Slice 88/155; Head; 240x240 px
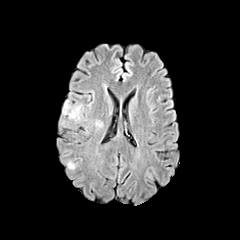
FLAIR MRI.
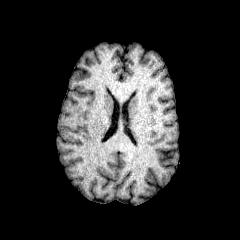
Same slice, T1-weighted MR.
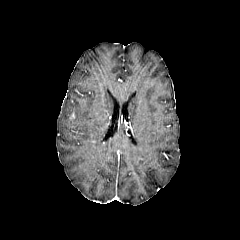
Same slice, post-contrast T1-weighted MRI.
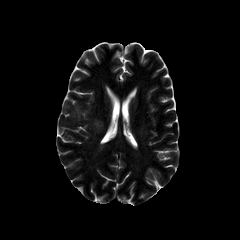
Same slice, T2-weighted MRI.
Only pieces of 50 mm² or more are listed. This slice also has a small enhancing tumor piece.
<segmentation>
  <peritumoral_edema>(63, 101, 83, 121), (67, 161, 76, 169)</peritumoral_edema>
</segmentation>